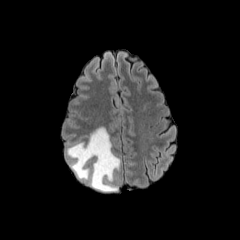
FLAIR MR.
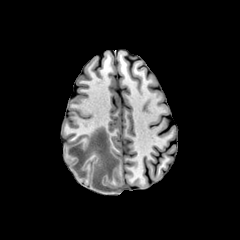
Same slice, T1-weighted MR image.
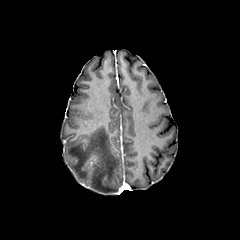
Post-contrast T1-weighted MRI.
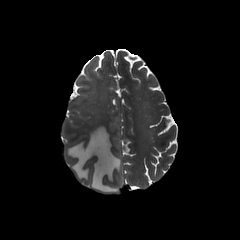
T2-weighted magnetic resonance.
Axial plane
peritumoral edema: bounding box 66,127,120,192